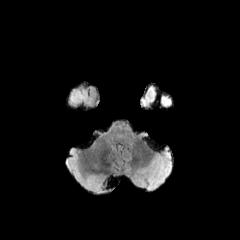
FLAIR MR image.
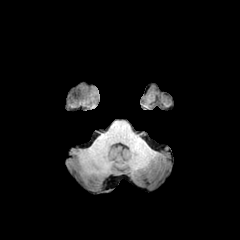
Same slice, T1-weighted MRI.
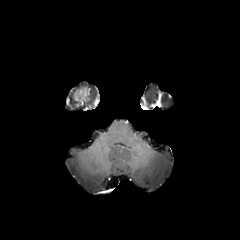
Post-contrast T1-weighted MR image.
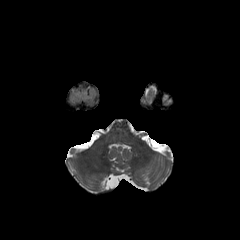
Same slice, T2-weighted MRI.
Axial view, 240x240, Brain
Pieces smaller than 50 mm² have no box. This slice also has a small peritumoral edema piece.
Annotated regions:
* enhancing tumor: left=72, top=87, right=90, bottom=104